FLAIR MR image.
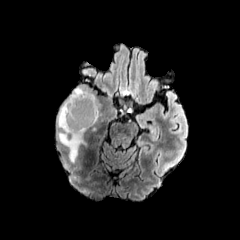
T1-weighted MR.
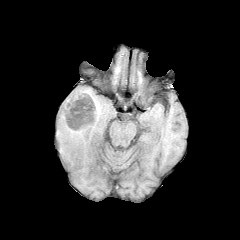
Post-contrast T1-weighted magnetic resonance.
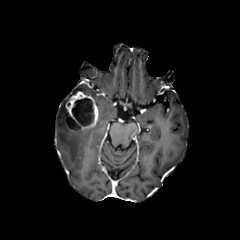
T2-weighted magnetic resonance.
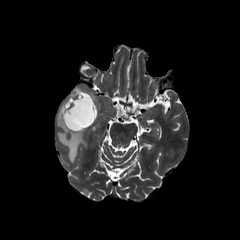
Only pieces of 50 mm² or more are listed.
necrotic tumor core: <bbox>66, 115, 80, 129</bbox>, <bbox>72, 98, 94, 126</bbox> | enhancing tumor: <bbox>65, 91, 98, 131</bbox> | peritumoral edema: <bbox>57, 86, 99, 162</bbox>